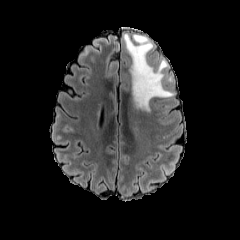
FLAIR MRI.
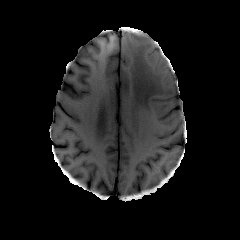
Same slice, T1-weighted MR image.
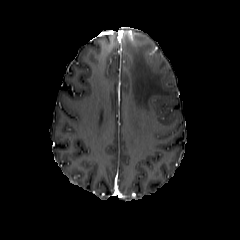
Post-contrast T1-weighted MR.
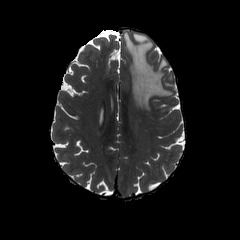
T2-weighted MR.
Axial slice; Brain; 240x240
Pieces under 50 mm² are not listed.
{
  "peritumoral_edema": [
    "(x1=123, y1=32, x2=173, y2=111)"
  ]
}